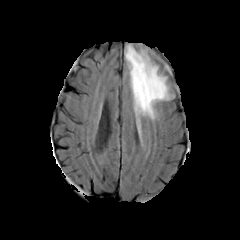
FLAIR MR image.
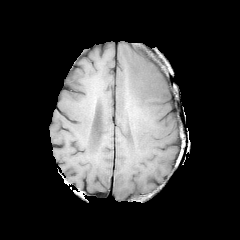
T1-weighted MR image.
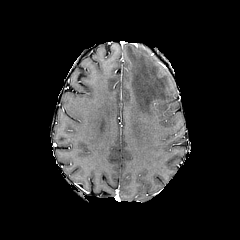
Post-contrast T1-weighted MR image.
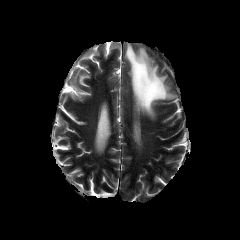
Same slice, T2-weighted MR image.
Head
peritumoral edema at (125,44,171,119)